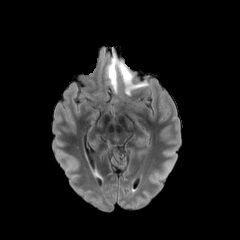
FLAIR MR.
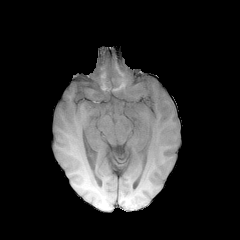
Same slice, T1-weighted MR.
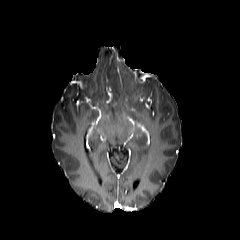
Post-contrast T1-weighted MR image.
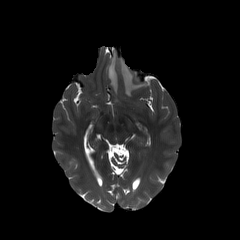
Same slice, T2-weighted MRI.
Head
peritumoral_edema:
  - x1=108, y1=55, x2=146, y2=95